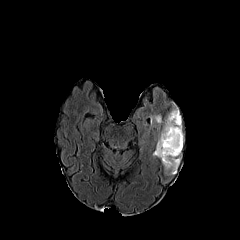
FLAIR MR image.
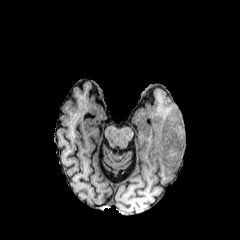
T1-weighted MR of the same slice.
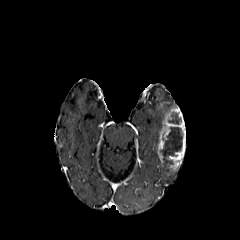
Post-contrast T1-weighted magnetic resonance.
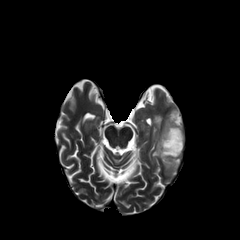
T2-weighted MR.
Brain. Axial slice.
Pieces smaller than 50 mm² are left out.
peritumoral edema: bbox=[150, 114, 163, 157]
necrotic tumor core: bbox=[160, 127, 182, 172]; bbox=[168, 112, 181, 124]
enhancing tumor: bbox=[157, 107, 185, 172]